Head. 240x240 px.
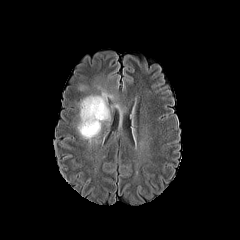
FLAIR magnetic resonance.
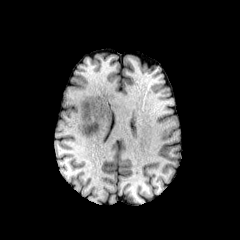
T1-weighted MRI of the same slice.
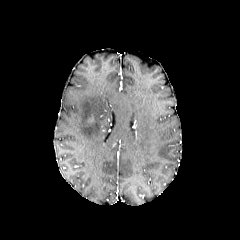
Post-contrast T1-weighted magnetic resonance.
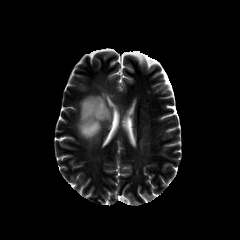
Same slice, T2-weighted MRI.
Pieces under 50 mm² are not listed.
Annotated regions:
• peritumoral edema: rect(77, 73, 125, 142)